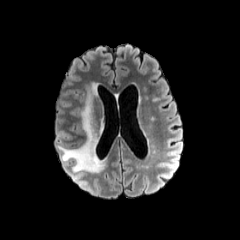
FLAIR MR image.
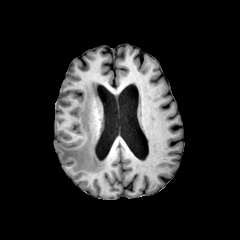
T1-weighted MR.
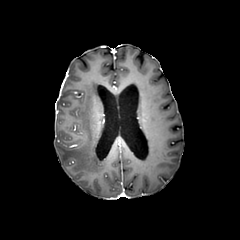
Same slice, post-contrast T1-weighted magnetic resonance.
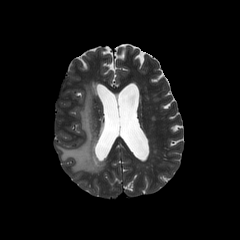
T2-weighted magnetic resonance of the same slice.
Axial slice | Head
- peritumoral edema: rect(58, 83, 104, 172)